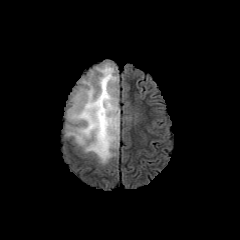
FLAIR MR image.
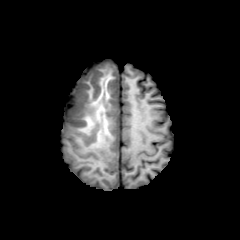
Same slice, T1-weighted magnetic resonance.
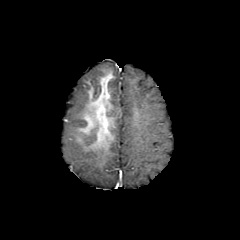
Post-contrast T1-weighted MRI.
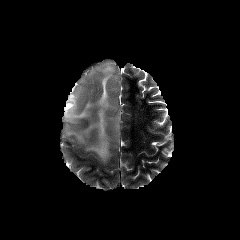
T2-weighted magnetic resonance of the same slice.
240x240. Axial plane. Head.
peritumoral edema: bbox(64, 61, 119, 164)